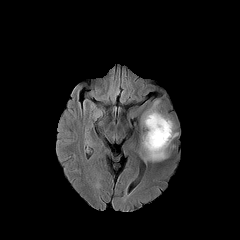
FLAIR MR image.
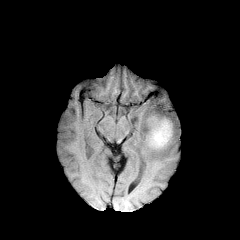
T1-weighted MR image.
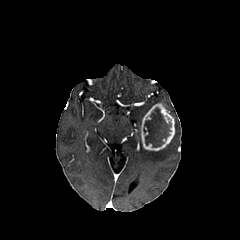
Post-contrast T1-weighted MR.
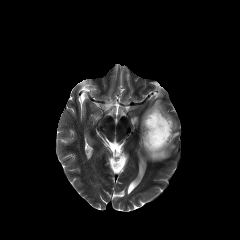
Same slice, T2-weighted MR image.
Image size 240x240. Axial view. Brain.
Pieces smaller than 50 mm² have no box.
enhancing tumor: bounding box x1=140 y1=103 x2=174 y2=151
peritumoral edema: bounding box x1=143 y1=143 x2=170 y2=161
necrotic tumor core: bounding box x1=143 y1=108 x2=170 y2=147